Axial plane. Brain.
FLAIR magnetic resonance.
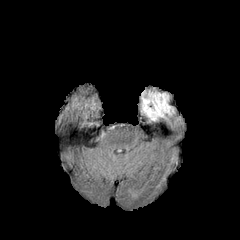
T1-weighted MR image.
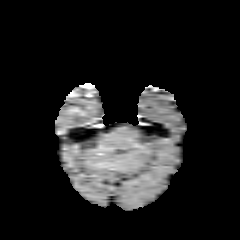
Post-contrast T1-weighted magnetic resonance.
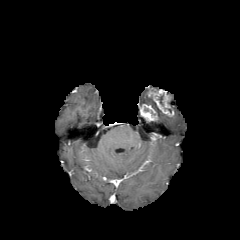
T2-weighted magnetic resonance.
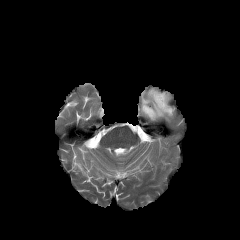
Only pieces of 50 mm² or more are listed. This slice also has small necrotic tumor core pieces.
2 enhancing tumor regions are bounded by rect(140, 104, 157, 121); rect(147, 90, 174, 116). The peritumoral edema is located at rect(141, 91, 168, 119).